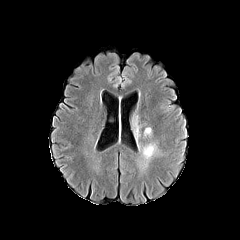
FLAIR MR image.
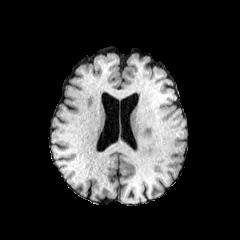
T1-weighted MR of the same slice.
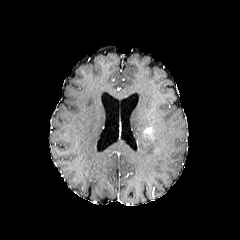
Post-contrast T1-weighted magnetic resonance.
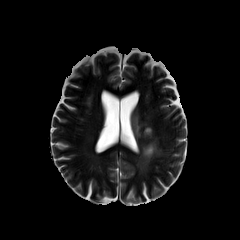
Same slice, T2-weighted MR image.
240x240
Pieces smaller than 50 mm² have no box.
enhancing_tumor:
  - [144,128,152,135]
peritumoral_edema:
  - [133,114,140,140]
  - [137,143,160,170]